Brain
FLAIR MR.
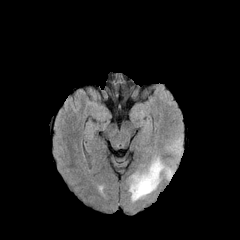
T1-weighted MR.
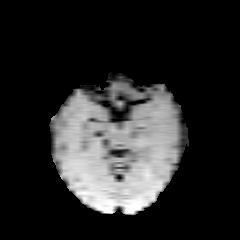
Post-contrast T1-weighted MR.
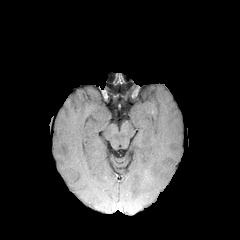
T2-weighted MR.
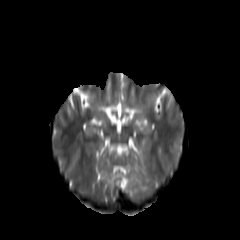
peritumoral edema: x1=168 y1=140 x2=180 y2=153, x1=128 y1=157 x2=171 y2=201